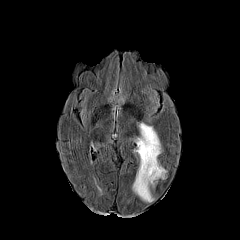
FLAIR magnetic resonance.
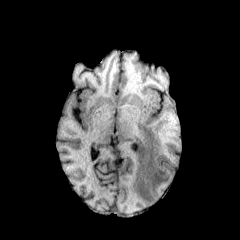
Same slice, T1-weighted MR image.
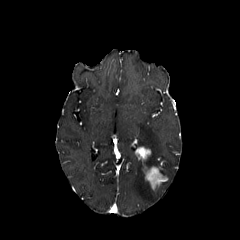
Post-contrast T1-weighted MRI.
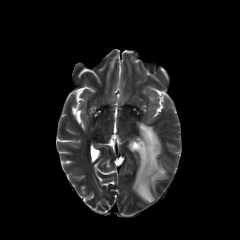
T2-weighted MRI.
Axial view. Head.
The peritumoral edema lies within x1=132 y1=123 x2=166 y2=202. 2 enhancing tumor regions are located at x1=143 y1=166 x2=167 y2=188, x1=135 y1=146 x2=151 y2=161.